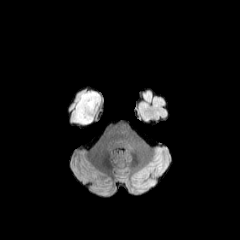
FLAIR MR image.
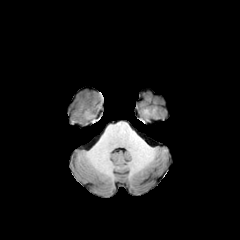
Same slice, T1-weighted MR.
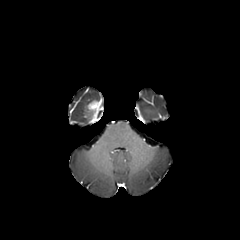
Post-contrast T1-weighted MR image of the same slice.
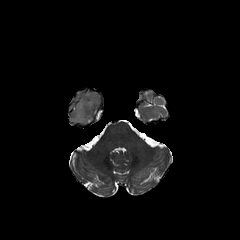
Same slice, T2-weighted MR image.
Image size 240x240; Brain
{
  "enhancing_tumor": [
    "x1=87, y1=100, x2=101, y2=121"
  ],
  "peritumoral_edema": [
    "x1=72, y1=91, x2=100, y2=125"
  ]
}